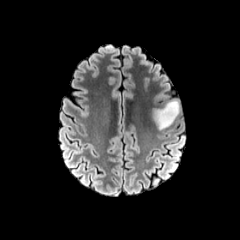
FLAIR MR.
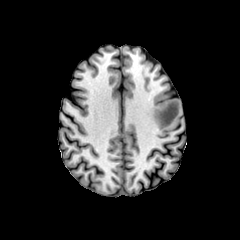
T1-weighted MRI.
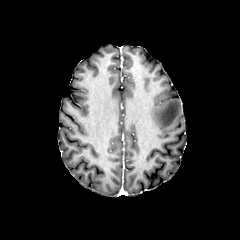
Same slice, post-contrast T1-weighted magnetic resonance.
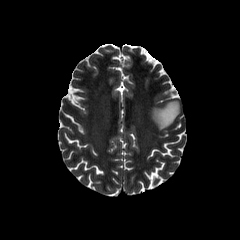
T2-weighted MR image of the same slice.
Image size 240x240; Axial view
The peritumoral edema is located at bbox(152, 100, 179, 130).